Slice index 89. Axial plane. Head. Image width 240 mm. 240x240 px.
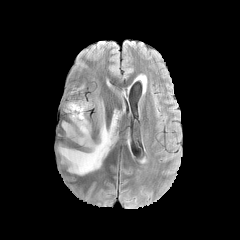
FLAIR MRI.
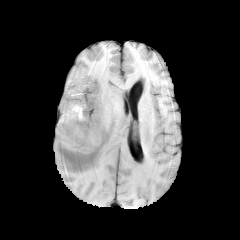
Same slice, T1-weighted magnetic resonance.
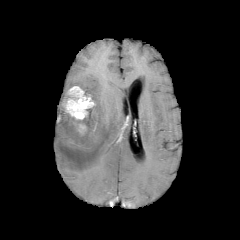
Post-contrast T1-weighted magnetic resonance.
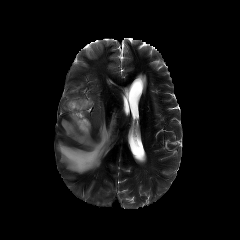
T2-weighted MR image.
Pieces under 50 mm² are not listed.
The largest peritumoral edema region is at bbox=[57, 100, 118, 174]. 2 enhancing tumor regions are located at bbox=[64, 86, 94, 119]; bbox=[79, 124, 86, 132].